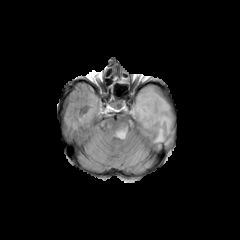
FLAIR MR.
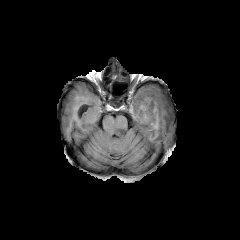
T1-weighted magnetic resonance of the same slice.
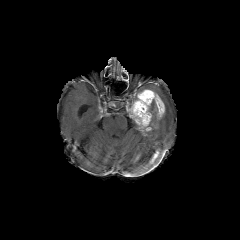
Post-contrast T1-weighted magnetic resonance.
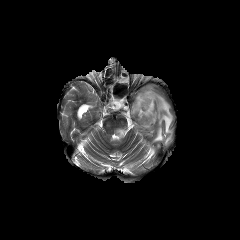
T2-weighted MR.
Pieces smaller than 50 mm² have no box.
<segmentation>
  <peritumoral_edema>{"x1": 148, "y1": 96, "x2": 172, "y2": 142}, {"x1": 113, "y1": 119, "x2": 134, "y2": 140}</peritumoral_edema>
  <enhancing_tumor>{"x1": 127, "y1": 89, "x2": 165, "y2": 131}</enhancing_tumor>
</segmentation>